FLAIR magnetic resonance.
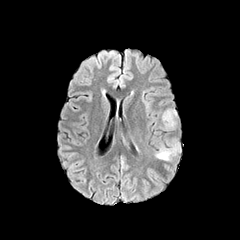
T1-weighted MR image.
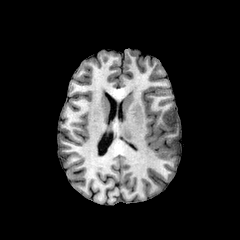
Post-contrast T1-weighted MRI.
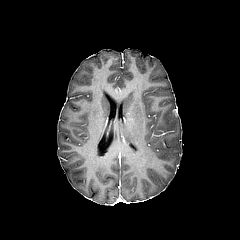
T2-weighted MR image.
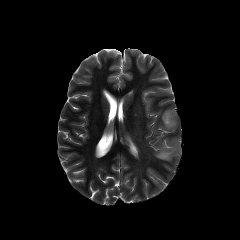
Axial slice, Head
2 peritumoral edema regions are bounded by 162, 109, 176, 129; 155, 140, 180, 160.